FLAIR MRI.
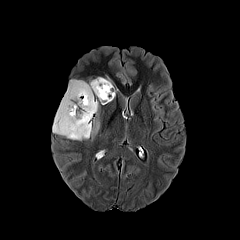
T1-weighted MR image.
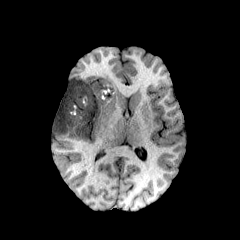
Post-contrast T1-weighted MR image.
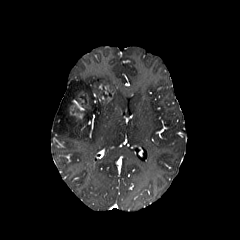
T2-weighted MRI.
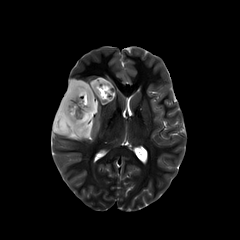
Head, Axial plane
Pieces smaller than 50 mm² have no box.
The 2 largest enhancing tumor regions are bounded by (101,84,113,103), (69,96,84,119). The 2 largest peritumoral edema regions are located at (92,101,100,135), (53,76,115,140). The 3 largest necrotic tumor core regions are located at (79,92,87,107), (72,95,96,134), (95,83,106,98).